FLAIR MR image.
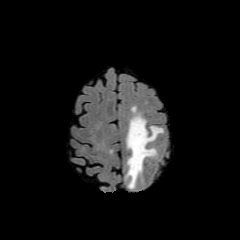
T1-weighted magnetic resonance.
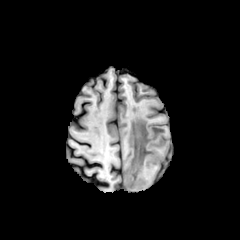
Post-contrast T1-weighted magnetic resonance.
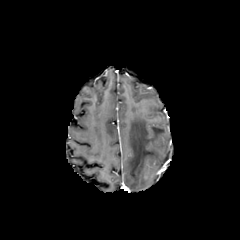
T2-weighted MR.
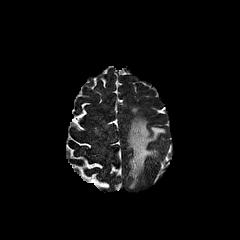
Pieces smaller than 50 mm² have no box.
peritumoral edema: 126 115 163 188